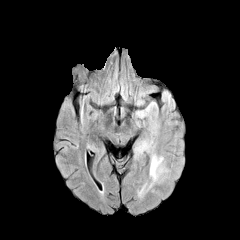
FLAIR MR image.
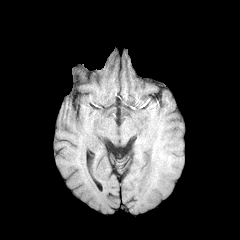
T1-weighted MR.
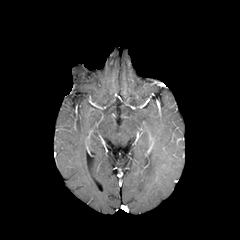
Post-contrast T1-weighted MRI.
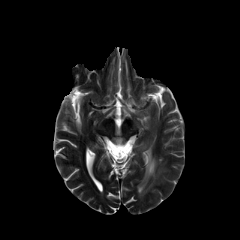
T2-weighted magnetic resonance of the same slice.
Head.
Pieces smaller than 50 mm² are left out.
peritumoral edema at bbox=[137, 141, 163, 181]; bbox=[137, 102, 158, 123]